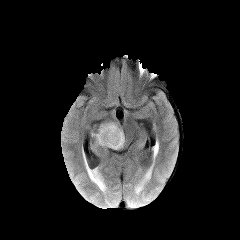
FLAIR MR.
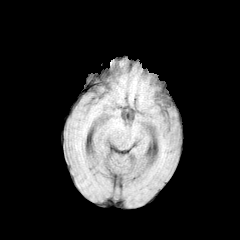
T1-weighted MR image.
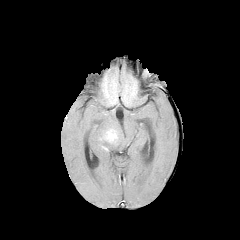
Same slice, post-contrast T1-weighted MRI.
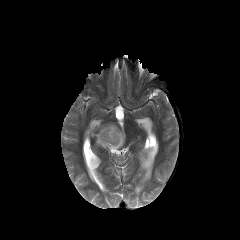
T2-weighted magnetic resonance.
Head
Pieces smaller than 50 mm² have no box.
peritumoral edema = 92 122 124 149
enhancing tumor = 100 129 118 143